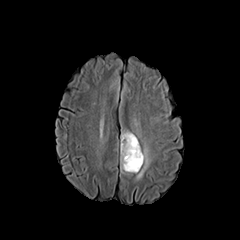
FLAIR MR image.
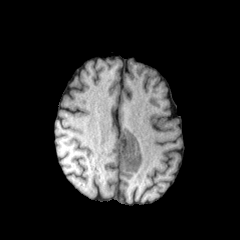
T1-weighted MRI.
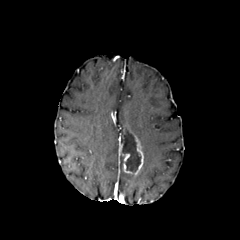
Post-contrast T1-weighted magnetic resonance of the same slice.
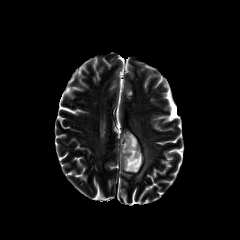
Same slice, T2-weighted MRI.
Brain, Axial view
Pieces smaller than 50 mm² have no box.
necrotic tumor core: 121:130:140:172
peritumoral edema: 136:143:151:179
enhancing tumor: 119:130:143:176